FLAIR MR.
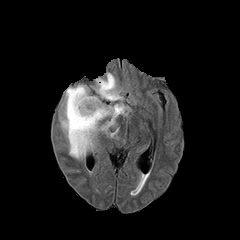
T1-weighted MR image.
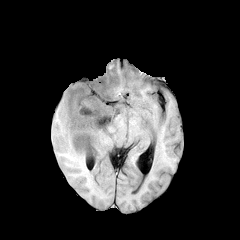
Post-contrast T1-weighted MR.
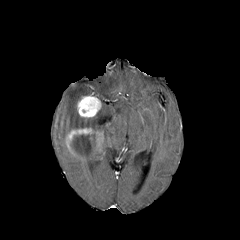
T2-weighted MRI.
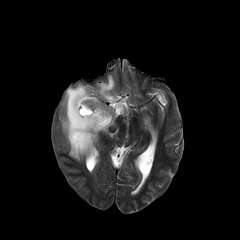
Head, Axial slice
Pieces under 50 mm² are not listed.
enhancing tumor at left=67, top=127, right=99, bottom=155; left=76, top=94, right=101, bottom=118
peritumoral edema at left=59, top=73, right=129, bottom=144; left=69, top=149, right=85, bottom=160; left=88, top=134, right=99, bottom=153
necrotic tumor core at left=73, top=139, right=91, bottom=154